Brain; 240x240
FLAIR MR image.
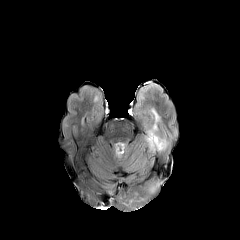
T1-weighted magnetic resonance.
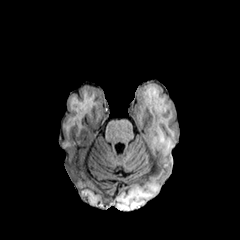
Post-contrast T1-weighted MR.
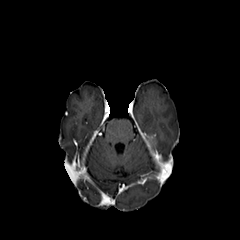
T2-weighted magnetic resonance.
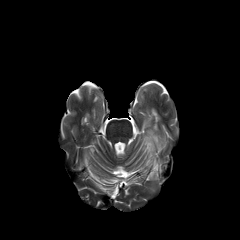
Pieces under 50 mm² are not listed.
The enhancing tumor is at (left=146, top=135, right=155, bottom=150). The largest peritumoral edema region lies within (left=155, top=135, right=161, bottom=148).